FLAIR magnetic resonance.
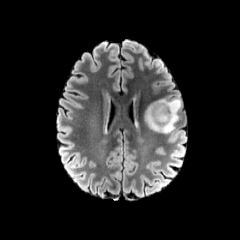
T1-weighted MR image.
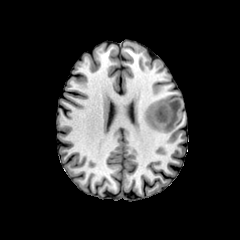
Post-contrast T1-weighted MR image.
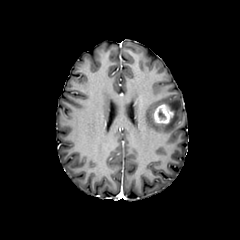
T2-weighted MR image.
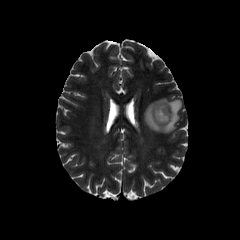
Axial slice; Brain
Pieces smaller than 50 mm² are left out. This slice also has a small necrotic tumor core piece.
enhancing tumor = [x1=153, y1=104, x2=173, y2=124]
peritumoral edema = [x1=144, y1=99, x2=181, y2=133]